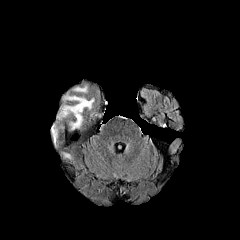
FLAIR MRI.
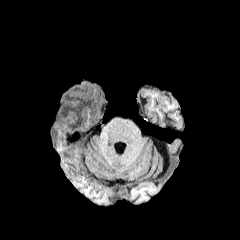
T1-weighted magnetic resonance.
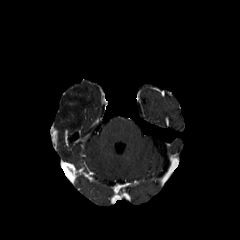
Same slice, post-contrast T1-weighted MRI.
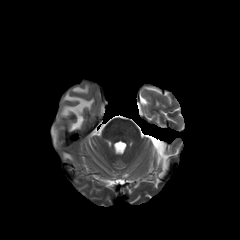
Same slice, T2-weighted MRI.
Head | Axial slice
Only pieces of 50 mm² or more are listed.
<segmentation>
  <enhancing_tumor>(left=51, top=125, right=57, bottom=148)</enhancing_tumor>
  <peritumoral_edema>(left=58, top=94, right=93, bottom=129), (left=72, top=86, right=87, bottom=92)</peritumoral_edema>
</segmentation>